Axial plane. Slice 102 of 155. Image covers 240 mm x 240 mm.
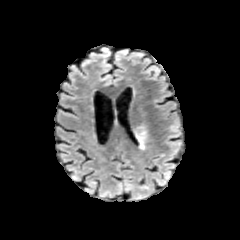
FLAIR MR image.
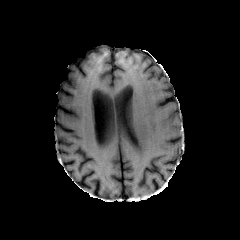
Same slice, T1-weighted MR image.
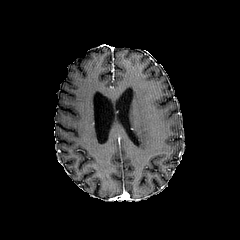
Post-contrast T1-weighted MR image.
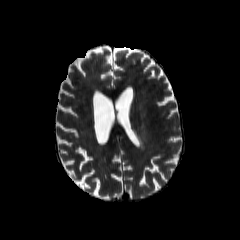
T2-weighted magnetic resonance.
The peritumoral edema is at bbox=[133, 124, 145, 149].